FLAIR MRI.
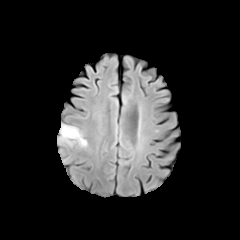
T1-weighted MR image.
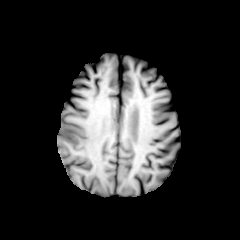
Post-contrast T1-weighted MR image.
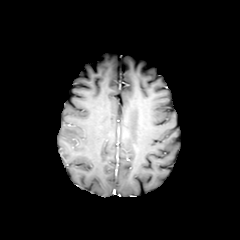
T2-weighted MR image.
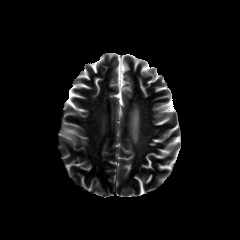
240x240
Segmented structures:
* peritumoral edema: bbox(58, 123, 87, 147)